Head | Axial slice | Slice 32 of 155
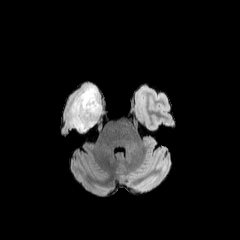
FLAIR MR.
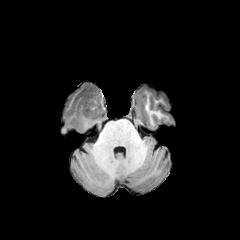
T1-weighted MR.
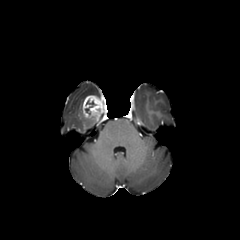
Same slice, post-contrast T1-weighted MR.
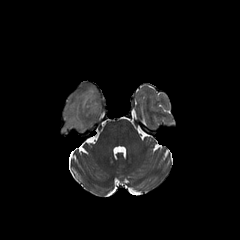
T2-weighted MR image.
<segmentation>
  <peritumoral_edema>{"x1": 67, "y1": 85, "x2": 99, "y2": 132}</peritumoral_edema>
  <necrotic_tumor_core>{"x1": 85, "y1": 100, "x2": 95, "y2": 114}</necrotic_tumor_core>
  <enhancing_tumor>{"x1": 82, "y1": 95, "x2": 103, "y2": 120}</enhancing_tumor>
</segmentation>